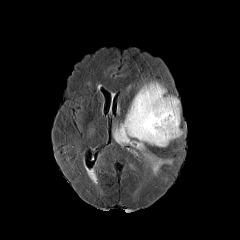
FLAIR magnetic resonance.
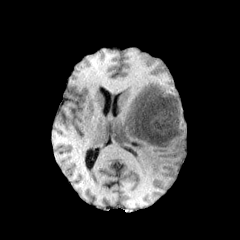
T1-weighted magnetic resonance.
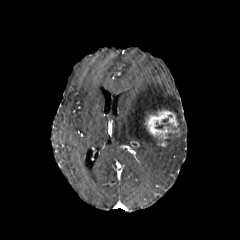
Post-contrast T1-weighted MR image.
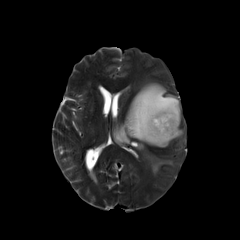
Same slice, T2-weighted MRI.
Axial plane, Image size 240x240
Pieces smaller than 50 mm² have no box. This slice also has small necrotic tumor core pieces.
peritumoral_edema:
  - (x1=113, y1=81, x2=181, y2=174)
enhancing_tumor:
  - (x1=144, y1=108, x2=182, y2=145)
  - (x1=130, y1=140, x2=139, y2=147)